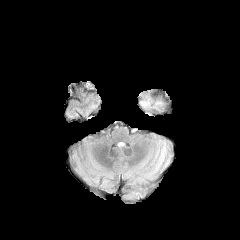
FLAIR MR image.
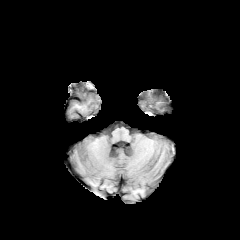
T1-weighted MRI.
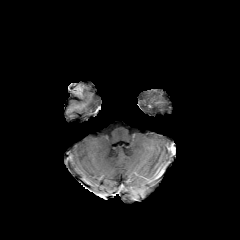
Same slice, post-contrast T1-weighted MR image.
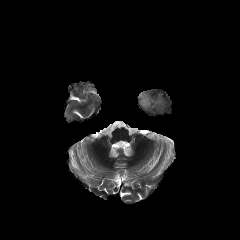
T2-weighted MRI.
Axial view; Head; Image size 240x240
The peritumoral edema appears at rect(138, 89, 171, 114).